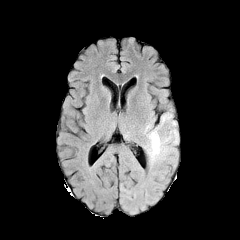
FLAIR MR.
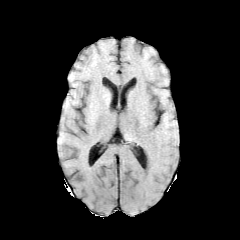
T1-weighted magnetic resonance.
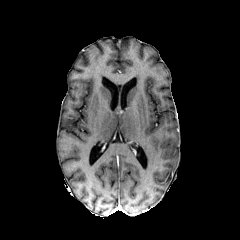
Post-contrast T1-weighted MR image.
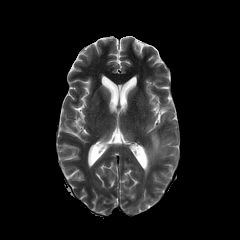
T2-weighted MR.
240x240 px. Axial view. Head.
Segmented structures:
• peritumoral edema: 147 128 167 163